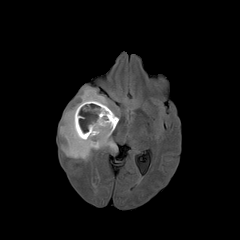
FLAIR MR image.
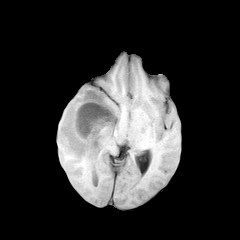
Same slice, T1-weighted MR image.
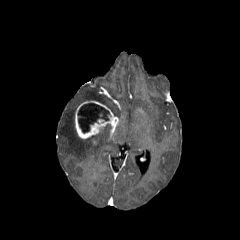
Same slice, post-contrast T1-weighted MR image.
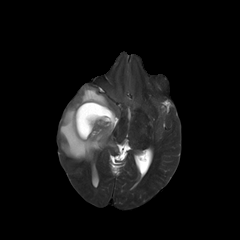
T2-weighted MR of the same slice.
Brain | Image size 240x240
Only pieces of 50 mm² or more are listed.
The necrotic tumor core lies within [78, 103, 109, 133]. The largest enhancing tumor region is bounded by [75, 100, 118, 138]. The largest peritumoral edema region appears at [59, 86, 117, 160].